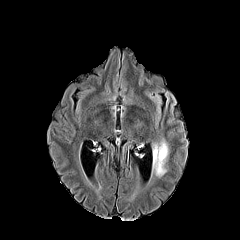
FLAIR MRI.
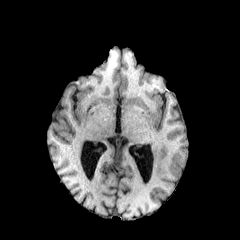
T1-weighted MR image.
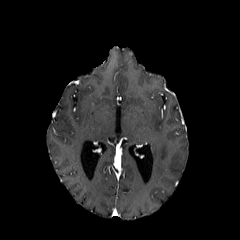
Post-contrast T1-weighted MR.
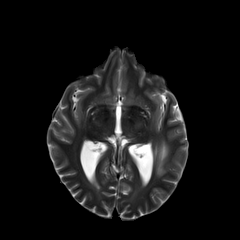
Same slice, T2-weighted MR.
Axial slice | 240x240
Segmented structures:
* peritumoral edema: {"x1": 153, "y1": 138, "x2": 169, "y2": 177}